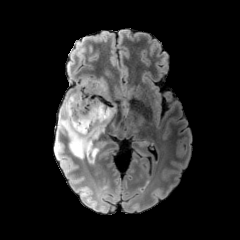
FLAIR MRI.
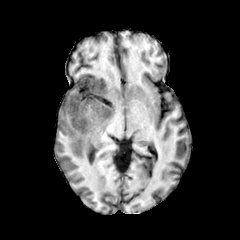
T1-weighted MR image of the same slice.
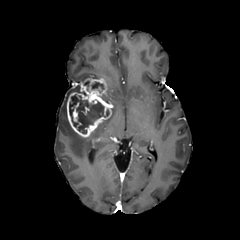
Same slice, post-contrast T1-weighted MR image.
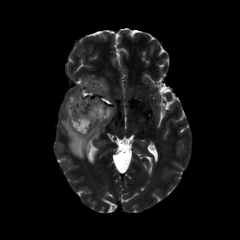
T2-weighted MR.
Axial view, Head, 240x240
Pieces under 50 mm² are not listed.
Findings:
• necrotic tumor core: box=[92, 82, 102, 88]; box=[69, 95, 109, 133]
• enhancing tumor: box=[66, 77, 111, 137]; box=[73, 102, 81, 127]
• peritumoral edema: box=[58, 86, 111, 158]